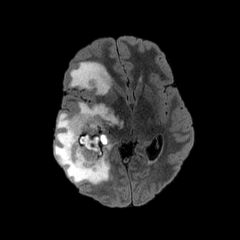
FLAIR MRI.
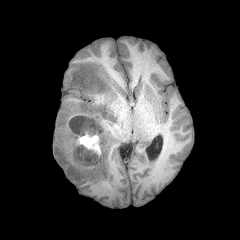
T1-weighted magnetic resonance.
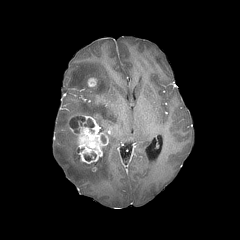
Post-contrast T1-weighted MR image.
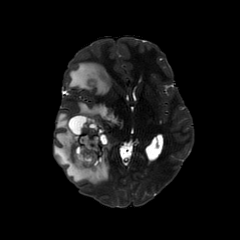
Same slice, T2-weighted MRI.
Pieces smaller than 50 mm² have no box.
necrotic_tumor_core:
  - {"x1": 69, "y1": 116, "x2": 85, "y2": 133}
  - {"x1": 84, "y1": 119, "x2": 94, "y2": 128}
  - {"x1": 80, "y1": 136, "x2": 98, "y2": 150}
enhancing_tumor:
  - {"x1": 68, "y1": 115, "x2": 108, "y2": 163}
  - {"x1": 87, "y1": 77, "x2": 97, "y2": 87}
peritumoral_edema:
  - {"x1": 54, "y1": 102, "x2": 118, "y2": 184}
  - {"x1": 69, "y1": 61, "x2": 111, "y2": 94}